FLAIR MR image.
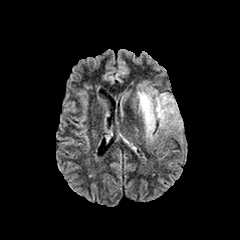
T1-weighted magnetic resonance.
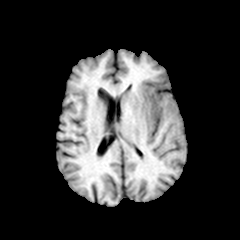
Post-contrast T1-weighted MR image.
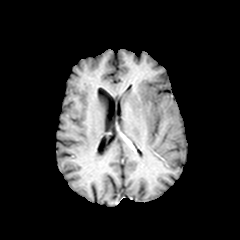
T2-weighted MRI.
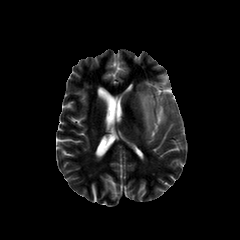
240x240, Head, Axial plane
<segmentation>
  <peritumoral_edema>(left=137, top=87, right=177, bottom=140)</peritumoral_edema>
</segmentation>